Axial view; Brain; Slice 65 of 155
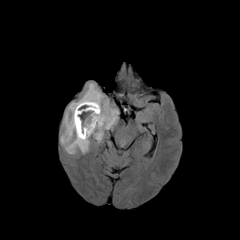
FLAIR magnetic resonance.
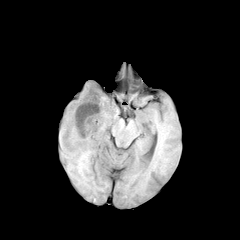
T1-weighted MRI of the same slice.
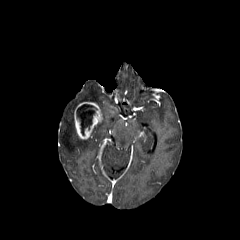
Same slice, post-contrast T1-weighted magnetic resonance.
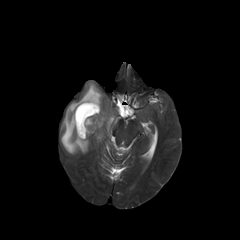
T2-weighted MRI.
Annotated regions:
• necrotic tumor core: 76,104,94,135
• peritumoral edema: 60,82,118,154
• enhancing tumor: 74,102,103,139